Axial view
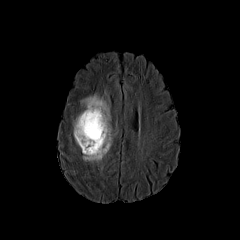
FLAIR MRI.
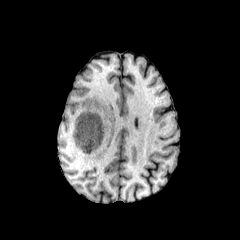
T1-weighted MR image.
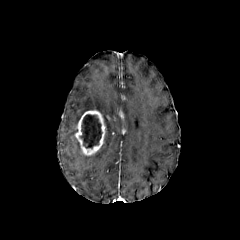
Post-contrast T1-weighted MRI.
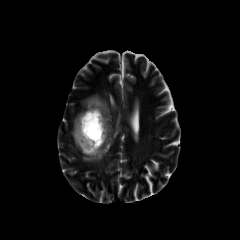
T2-weighted MRI.
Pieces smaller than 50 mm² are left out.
The necrotic tumor core is located at 81,115,101,147. The largest peritumoral edema region lies within 73,94,112,161. The largest enhancing tumor region is located at 74,109,106,155.